Head; Axial slice
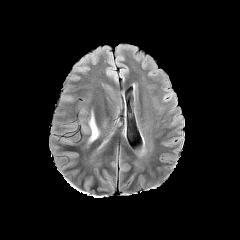
FLAIR MR image.
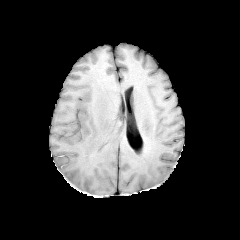
T1-weighted MR image.
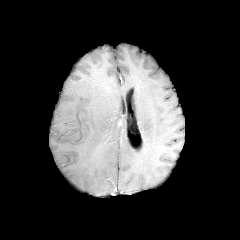
Post-contrast T1-weighted MRI.
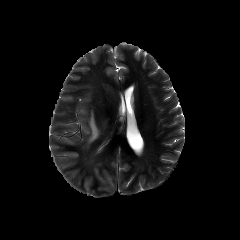
T2-weighted MR of the same slice.
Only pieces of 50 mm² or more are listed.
{"peritumoral_edema": ["<box>88,112,99,143</box>"]}